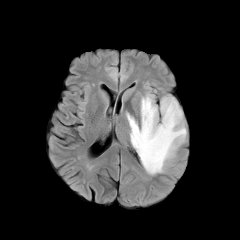
FLAIR MRI.
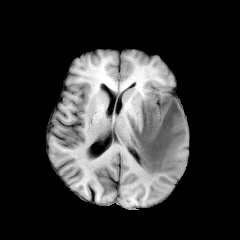
T1-weighted MR.
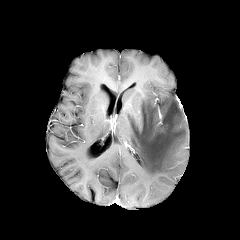
Post-contrast T1-weighted MRI.
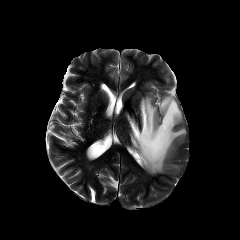
T2-weighted magnetic resonance.
Brain
Segmented structures:
- peritumoral edema: x1=126, y1=94, x2=186, y2=175